Brain, Slice index 41, Axial view
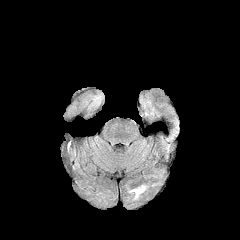
FLAIR MR image.
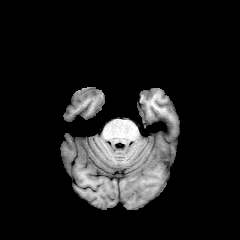
T1-weighted MR.
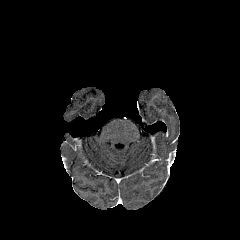
Post-contrast T1-weighted MRI.
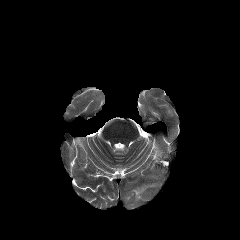
T2-weighted MRI of the same slice.
peritumoral_edema:
  - box(132, 186, 145, 197)